Image width 240 mm, 1.00 mm slice spacing. Slice index 73. Head.
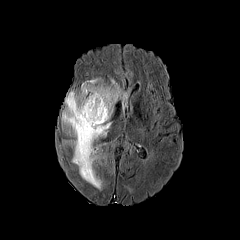
FLAIR magnetic resonance.
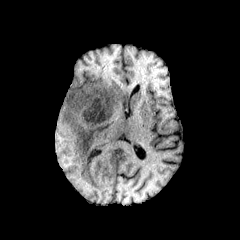
T1-weighted magnetic resonance.
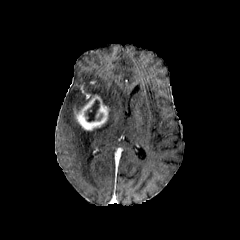
Post-contrast T1-weighted MRI.
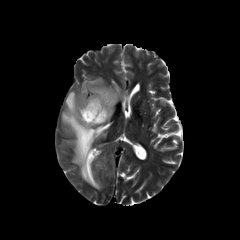
T2-weighted MR image of the same slice.
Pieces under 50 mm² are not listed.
necrotic tumor core = <box>85,100,99,121</box>
peritumoral edema = <box>61,78,128,189</box>
enhancing tumor = <box>74,95,109,130</box>